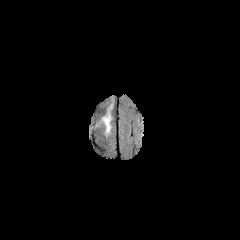
FLAIR MR.
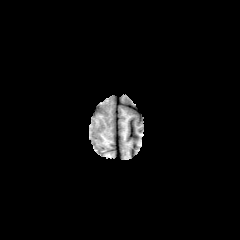
T1-weighted MRI.
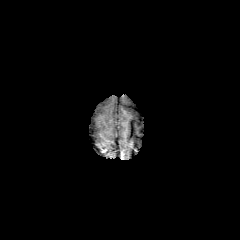
Same slice, post-contrast T1-weighted MR.
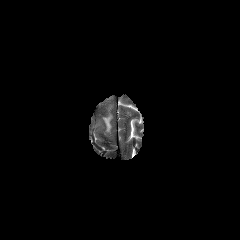
T2-weighted magnetic resonance.
240x240, Brain, Axial view
{
  "peritumoral_edema": [
    "left=104, top=117, right=110, bottom=131"
  ]
}